240x240 px; Head; Image covers 240 mm x 240 mm; Axial view
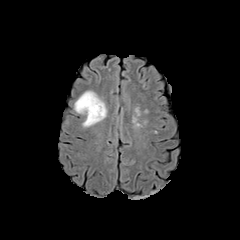
FLAIR magnetic resonance.
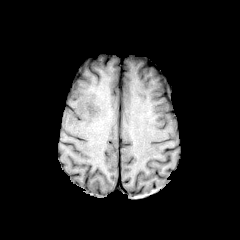
T1-weighted MR image of the same slice.
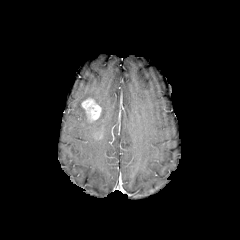
Same slice, post-contrast T1-weighted MR image.
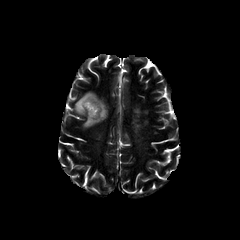
T2-weighted MR.
enhancing tumor at (x1=81, y1=98, x2=101, y2=121)
peritumoral edema at (x1=74, y1=91, x2=107, y2=127)